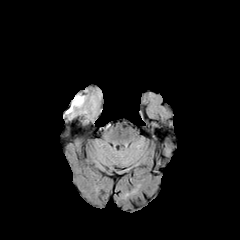
FLAIR MR.
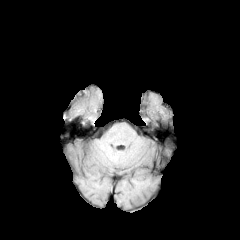
Same slice, T1-weighted magnetic resonance.
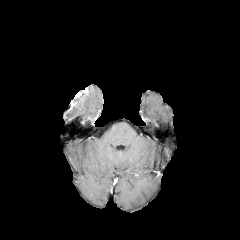
Post-contrast T1-weighted MR.
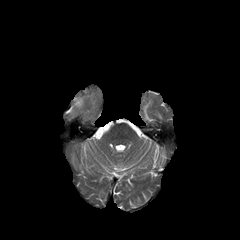
T2-weighted MR image of the same slice.
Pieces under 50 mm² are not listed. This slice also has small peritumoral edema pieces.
{"enhancing_tumor": ["(x1=69, y1=88, x2=88, y2=109)"]}